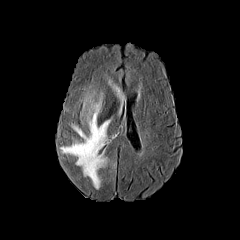
FLAIR MRI.
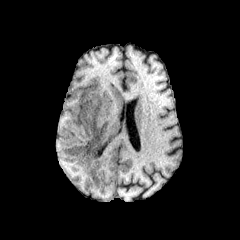
T1-weighted MR image.
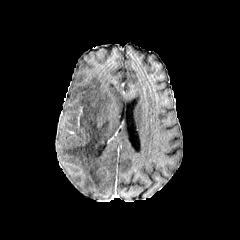
Post-contrast T1-weighted MR.
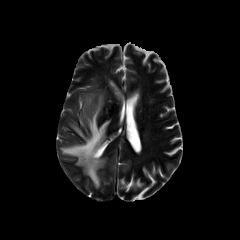
T2-weighted MR image.
Axial plane, Head
Findings:
• peritumoral edema: bbox(108, 79, 125, 108); bbox(60, 90, 110, 189)